Brain.
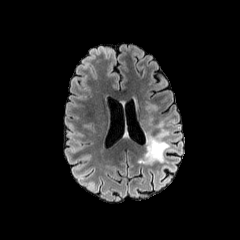
FLAIR magnetic resonance.
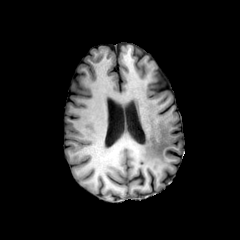
T1-weighted MR image.
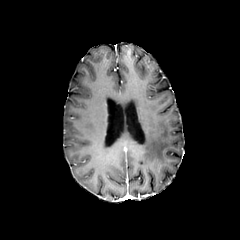
Post-contrast T1-weighted magnetic resonance.
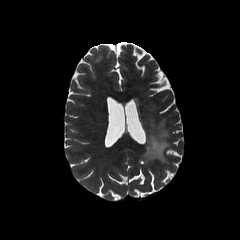
Same slice, T2-weighted MRI.
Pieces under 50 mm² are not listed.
<segmentation>
  <peritumoral_edema>x1=143, y1=121, x2=170, y2=163</peritumoral_edema>
</segmentation>